FLAIR MR image.
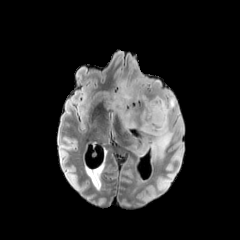
T1-weighted MR.
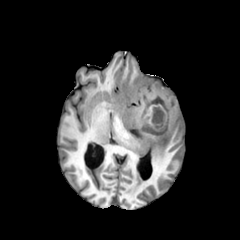
Post-contrast T1-weighted MR image.
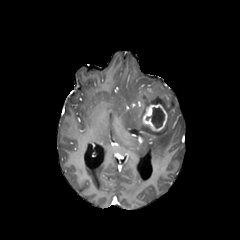
T2-weighted MR.
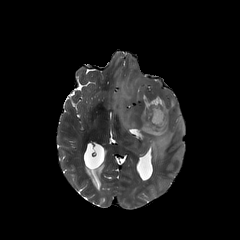
240x240 px | Brain
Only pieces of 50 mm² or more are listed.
{
  "necrotic_tumor_core": [
    "region(146, 107, 164, 128)"
  ],
  "peritumoral_edema": [
    "region(110, 75, 182, 158)"
  ],
  "enhancing_tumor": [
    "region(142, 103, 167, 131)"
  ]
}